Axial plane
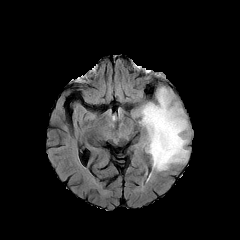
FLAIR MR.
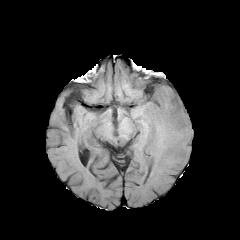
T1-weighted MR.
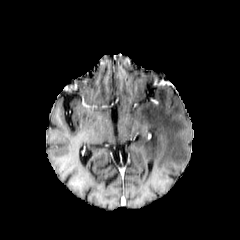
Post-contrast T1-weighted MRI.
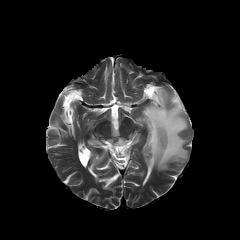
T2-weighted MR of the same slice.
{"peritumoral_edema": ["(139,87,188,170)"]}